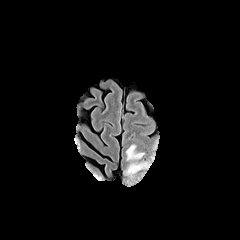
FLAIR MRI.
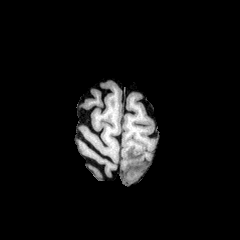
T1-weighted MRI of the same slice.
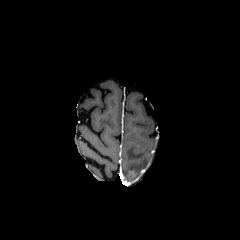
Post-contrast T1-weighted MR image.
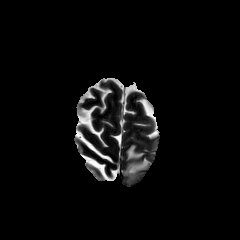
T2-weighted MR.
Image size 240x240 | Axial slice
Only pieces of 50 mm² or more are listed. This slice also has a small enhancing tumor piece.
The peritumoral edema is at {"x1": 124, "y1": 144, "x2": 147, "y2": 178}.